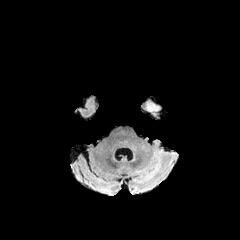
FLAIR MRI.
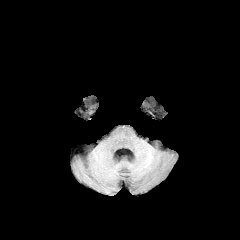
T1-weighted MR of the same slice.
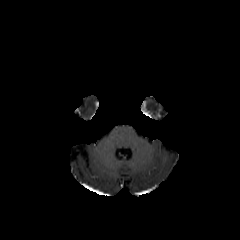
Post-contrast T1-weighted MRI.
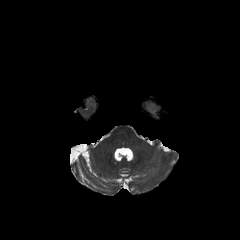
T2-weighted MRI of the same slice.
Image size 240x240
The peritumoral edema is at [x1=145, y1=101, x2=156, y2=110].